FLAIR MR image.
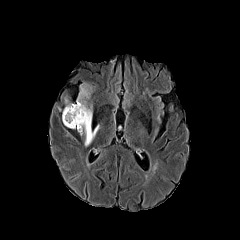
T1-weighted MR.
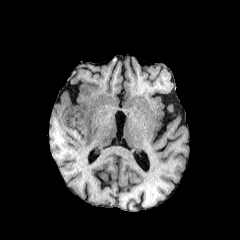
Post-contrast T1-weighted magnetic resonance.
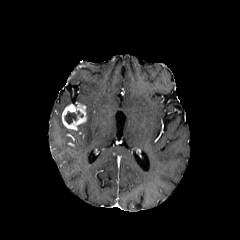
T2-weighted MR image.
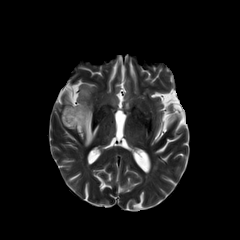
Axial slice.
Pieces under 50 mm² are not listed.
The largest peritumoral edema region is at [76,83,99,146]. The enhancing tumor is located at [62,102,86,130]. The largest necrotic tumor core region is located at [64,111,79,124].